FLAIR MR image.
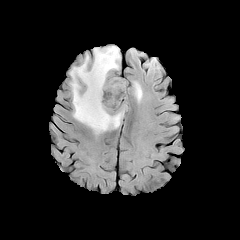
T1-weighted MRI.
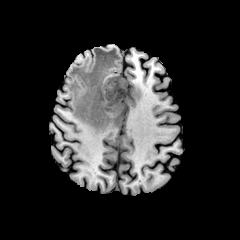
Post-contrast T1-weighted MR.
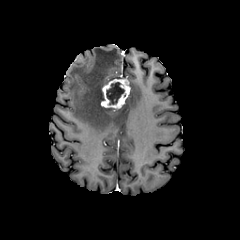
T2-weighted magnetic resonance.
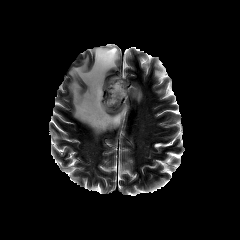
Axial view | Head
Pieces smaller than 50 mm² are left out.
The 2 largest peritumoral edema regions are bounded by bbox=[69, 46, 127, 134]; bbox=[131, 82, 142, 102]. The necrotic tumor core is located at bbox=[106, 82, 124, 104]. The enhancing tumor is bounded by bbox=[101, 79, 130, 108].